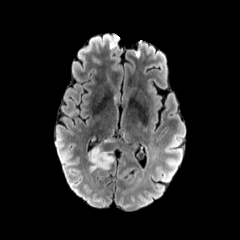
FLAIR magnetic resonance.
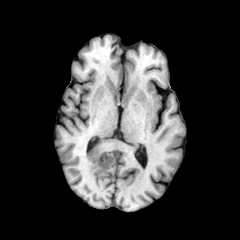
T1-weighted magnetic resonance.
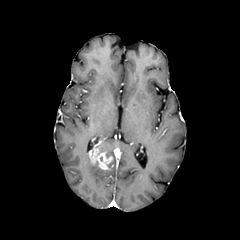
Same slice, post-contrast T1-weighted MR.
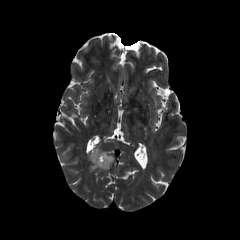
T2-weighted magnetic resonance.
Head
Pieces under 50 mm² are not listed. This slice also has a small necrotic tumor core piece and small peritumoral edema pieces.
enhancing tumor: bounding box 88, 142, 113, 170